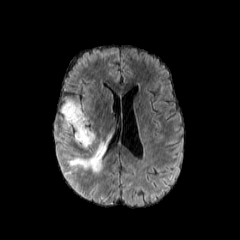
FLAIR MR.
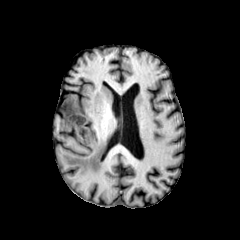
T1-weighted magnetic resonance.
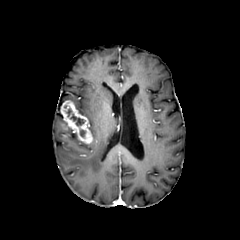
Same slice, post-contrast T1-weighted MR image.
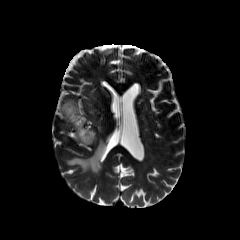
T2-weighted magnetic resonance of the same slice.
Image size 240x240
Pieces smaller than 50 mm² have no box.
Segmented structures:
* peritumoral edema: 75,133,92,147; 67,140,106,173; 72,101,83,115
* enhancing tumor: 61,100,92,143
* necrotic tumor core: 70,114,84,126